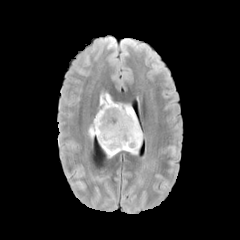
FLAIR MRI.
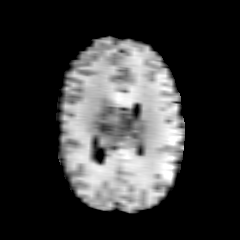
Same slice, T1-weighted MRI.
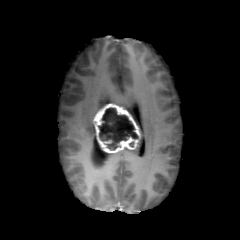
Post-contrast T1-weighted MRI.
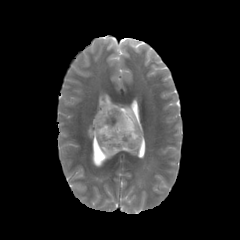
T2-weighted MRI.
Head
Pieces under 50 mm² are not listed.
peritumoral edema: l=99, t=94, r=138, b=125; l=122, t=131, r=143, b=154; l=88, t=123, r=95, b=138
necrotic tumor core: l=99, t=108, r=137, b=149
enhancing tumor: l=93, t=104, r=140, b=153